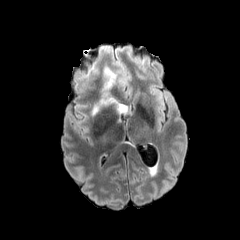
FLAIR MR image.
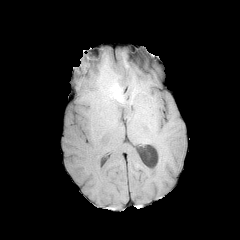
T1-weighted MRI of the same slice.
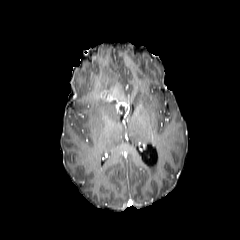
Post-contrast T1-weighted MRI of the same slice.
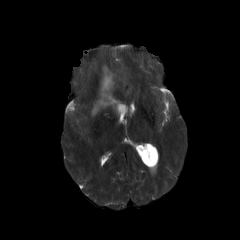
T2-weighted MR image of the same slice.
Axial plane; Head
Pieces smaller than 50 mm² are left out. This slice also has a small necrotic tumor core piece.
peritumoral_edema:
  - rect(92, 68, 118, 115)
enhancing_tumor:
  - rect(116, 102, 128, 114)
  - rect(102, 91, 113, 101)